240x240
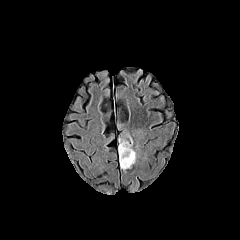
FLAIR magnetic resonance.
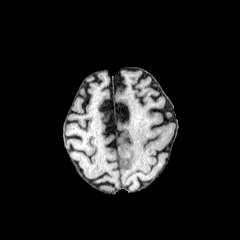
T1-weighted magnetic resonance.
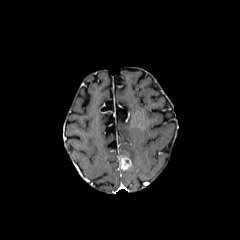
Same slice, post-contrast T1-weighted magnetic resonance.
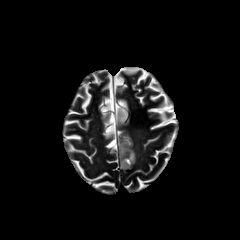
T2-weighted MR image.
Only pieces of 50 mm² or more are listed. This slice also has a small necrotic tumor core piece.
peritumoral edema at left=118, top=138, right=136, bottom=164
enhancing tumor at left=119, top=155, right=131, bottom=170